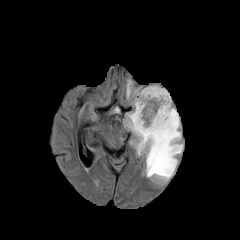
FLAIR MRI.
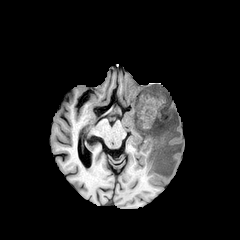
Same slice, T1-weighted MR.
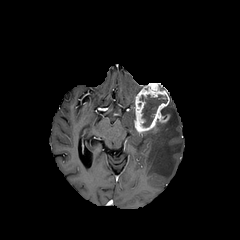
Post-contrast T1-weighted magnetic resonance.
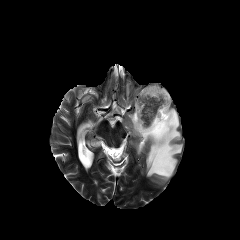
T2-weighted MRI.
Brain, Image size 240x240
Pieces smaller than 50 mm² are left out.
necrotic_tumor_core:
  - left=142, top=95, right=166, bottom=126
enhancing_tumor:
  - left=133, top=83, right=169, bottom=133
peritumoral_edema:
  - left=111, top=106, right=120, bottom=114
  - left=127, top=97, right=182, bottom=181
  - left=125, top=80, right=131, bottom=99